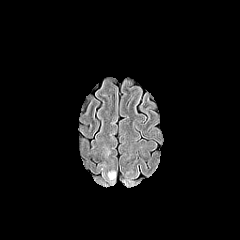
FLAIR magnetic resonance.
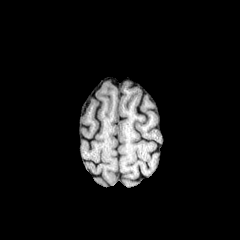
T1-weighted MR of the same slice.
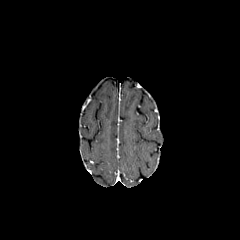
Post-contrast T1-weighted MRI.
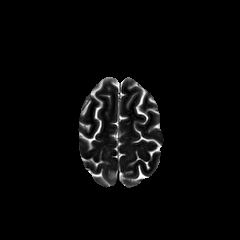
T2-weighted MR image.
Axial plane. Image size 240x240. Head.
peritumoral edema — [108, 171, 115, 180]